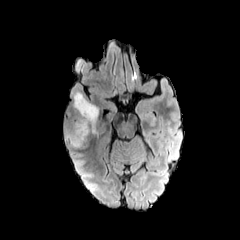
FLAIR magnetic resonance.
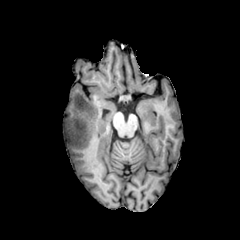
Same slice, T1-weighted MR.
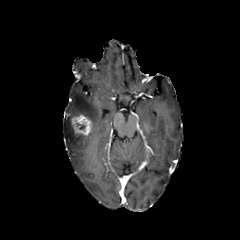
Post-contrast T1-weighted MR of the same slice.
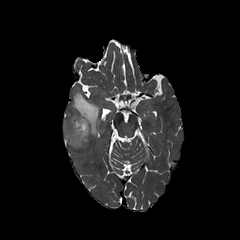
Same slice, T2-weighted magnetic resonance.
Brain, Image size 240x240, Axial plane
peritumoral edema at l=64, t=92, r=98, b=147
enhancing tumor at l=71, t=114, r=92, b=137
necrotic tumor core at l=74, t=119, r=86, b=132